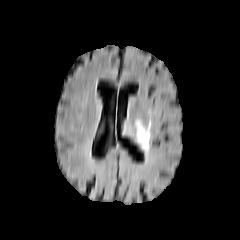
FLAIR MRI.
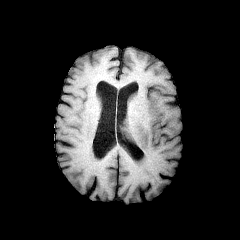
Same slice, T1-weighted MRI.
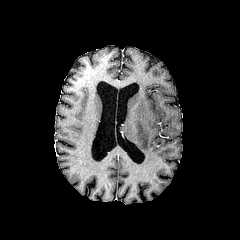
Post-contrast T1-weighted MRI.
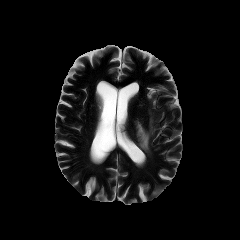
T2-weighted MRI.
240x240 px. Brain.
The peritumoral edema is located at [135,119,152,153].